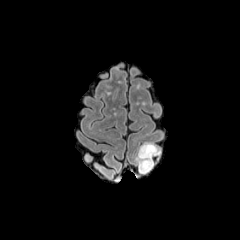
FLAIR MR.
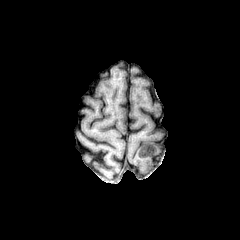
T1-weighted MR of the same slice.
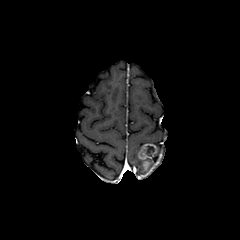
Post-contrast T1-weighted magnetic resonance of the same slice.
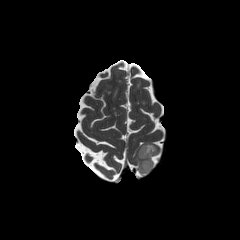
Same slice, T2-weighted MR image.
Head
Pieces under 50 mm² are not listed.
The largest peritumoral edema region is bounded by box(135, 156, 147, 173). The enhancing tumor is bounded by box(138, 143, 157, 170). The necrotic tumor core is at box(146, 146, 154, 155).